Head | Image width 240 mm | Slice 74/155 | Axial slice
FLAIR MR image.
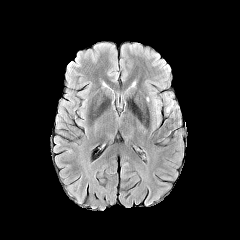
T1-weighted MR image.
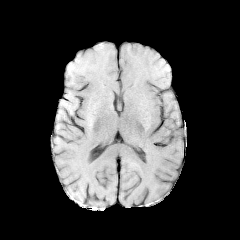
Post-contrast T1-weighted MR.
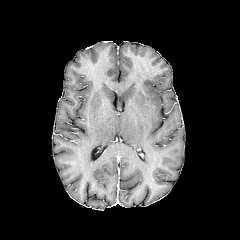
T2-weighted MR.
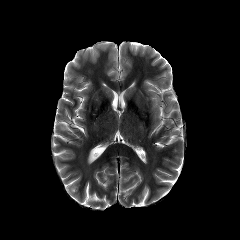
<segmentation>
  <peritumoral_edema>166, 94, 176, 112</peritumoral_edema>
</segmentation>